FLAIR MRI.
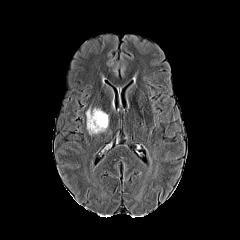
T1-weighted MR image.
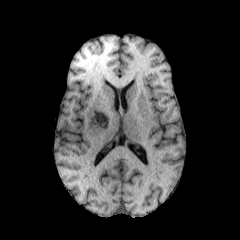
Post-contrast T1-weighted MRI.
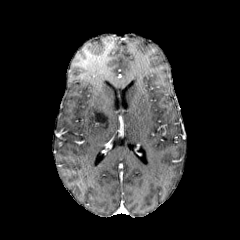
T2-weighted magnetic resonance.
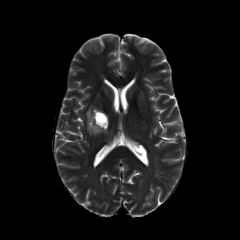
Head; Image size 240x240
The peritumoral edema lies within bbox=[86, 108, 108, 134].